FLAIR MR.
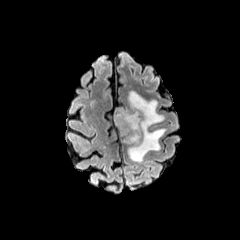
T1-weighted magnetic resonance.
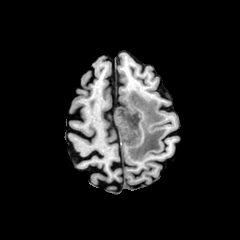
Post-contrast T1-weighted MR.
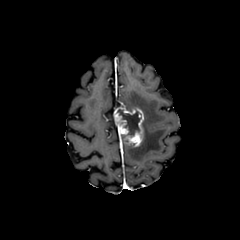
T2-weighted MRI.
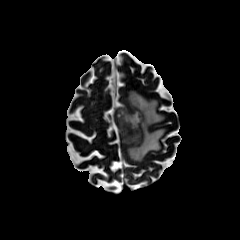
Brain, 240x240 px
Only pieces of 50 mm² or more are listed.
<segmentation>
  <enhancing_tumor>114 106 143 146</enhancing_tumor>
  <necrotic_tumor_core>118 109 140 135</necrotic_tumor_core>
  <peritumoral_edema>127 91 165 162</peritumoral_edema>
</segmentation>